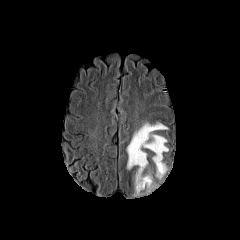
FLAIR MR image.
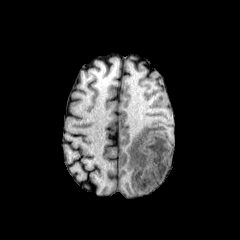
T1-weighted MRI.
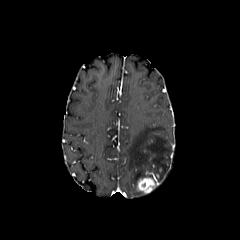
Same slice, post-contrast T1-weighted MRI.
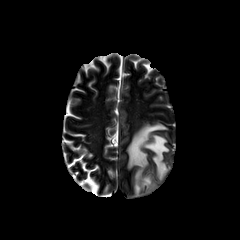
Same slice, T2-weighted magnetic resonance.
240x240 | Brain | Axial view
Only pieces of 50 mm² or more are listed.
enhancing tumor at [136, 176, 158, 193]
peritumoral edema at [127, 123, 168, 195]